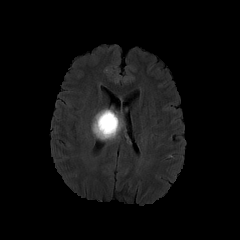
FLAIR MR.
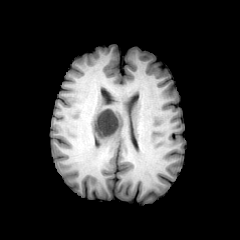
Same slice, T1-weighted magnetic resonance.
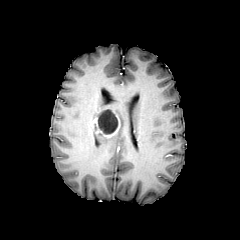
Post-contrast T1-weighted MRI.
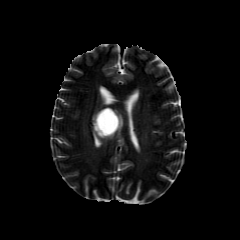
Same slice, T2-weighted MR image.
Axial plane
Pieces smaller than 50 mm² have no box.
{"enhancing_tumor": ["93,111,120,137"], "peritumoral_edema": ["92,111,123,140"], "necrotic_tumor_core": ["97,109,118,134"]}